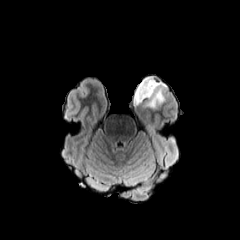
FLAIR MR image.
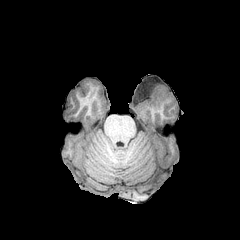
Same slice, T1-weighted MR.
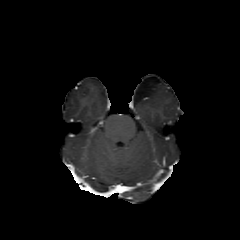
Post-contrast T1-weighted MRI.
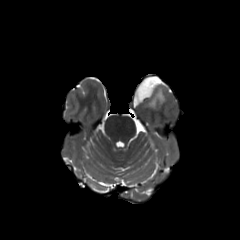
T2-weighted MR image.
Head.
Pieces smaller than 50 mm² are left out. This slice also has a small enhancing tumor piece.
• peritumoral edema: [134, 76, 166, 108]